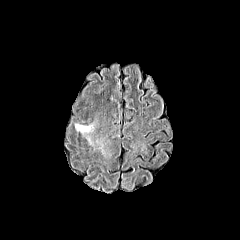
FLAIR MR image.
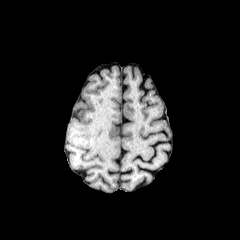
T1-weighted MR image.
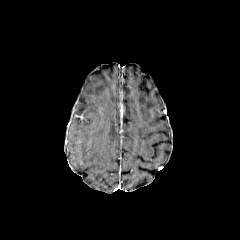
Post-contrast T1-weighted MR image.
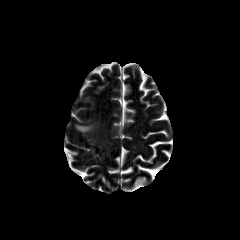
T2-weighted MR image.
Head; Image size 240x240
<segmentation>
  <peritumoral_edema>bbox=[76, 124, 92, 132]</peritumoral_edema>
</segmentation>